Slice index 112 | Brain
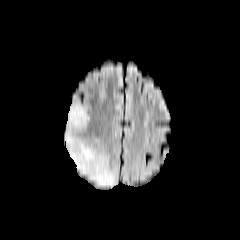
FLAIR MR.
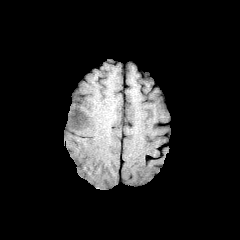
T1-weighted MR image.
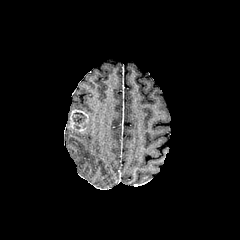
Post-contrast T1-weighted MRI.
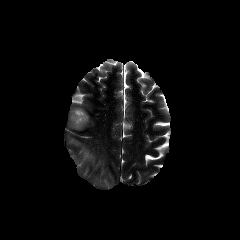
Same slice, T2-weighted MR image.
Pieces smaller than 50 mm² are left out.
enhancing tumor: bbox(69, 109, 88, 131)
peritumoral edema: bbox(66, 104, 114, 186)
necrotic tumor core: bbox(72, 112, 86, 129)